Image width 240 mm, Image size 240x240
FLAIR magnetic resonance.
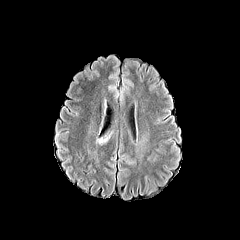
T1-weighted MRI.
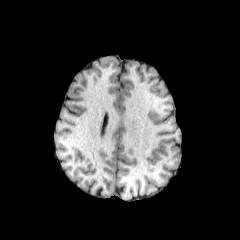
Post-contrast T1-weighted MR.
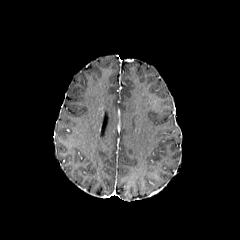
T2-weighted MR.
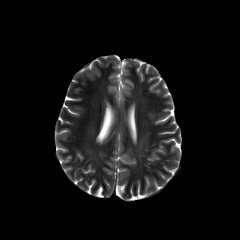
peritumoral edema: 97, 136, 108, 143